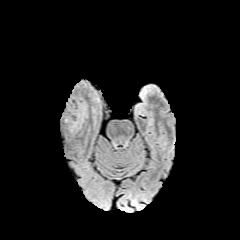
FLAIR MR.
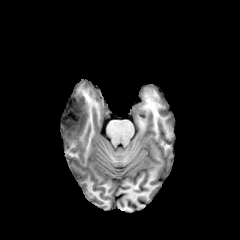
T1-weighted magnetic resonance.
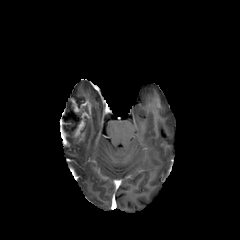
Same slice, post-contrast T1-weighted MRI.
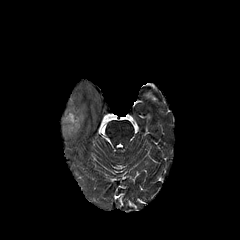
T2-weighted MR.
Brain.
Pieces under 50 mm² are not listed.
peritumoral edema: (x1=72, y1=94, x2=85, y2=107) | enhancing tumor: (x1=60, y1=96, x2=90, y2=146) | necrotic tumor core: (x1=62, y1=100, x2=81, y2=141)